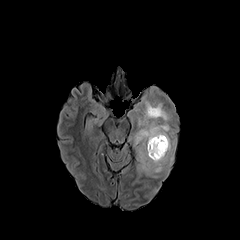
FLAIR MR.
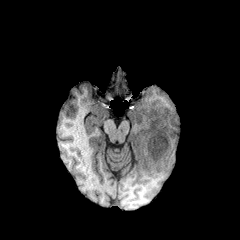
T1-weighted MRI of the same slice.
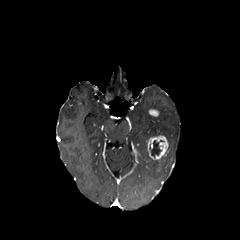
Post-contrast T1-weighted MR of the same slice.
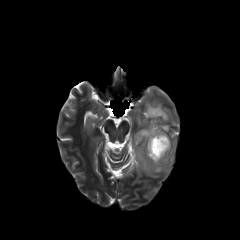
T2-weighted MR.
Axial view
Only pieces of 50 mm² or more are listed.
necrotic_tumor_core:
  - bbox(150, 140, 161, 156)
peritumoral_edema:
  - bbox(134, 86, 176, 182)
  - bbox(144, 187, 157, 199)
enhancing_tumor:
  - bbox(148, 109, 158, 116)
  - bbox(147, 135, 168, 159)